FLAIR magnetic resonance.
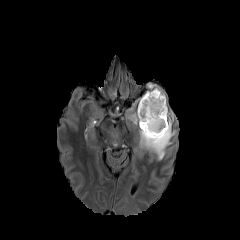
T1-weighted MRI.
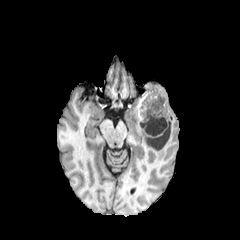
Post-contrast T1-weighted MR image.
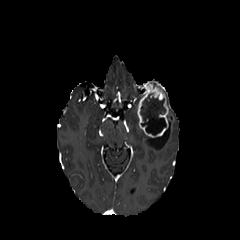
T2-weighted MR image.
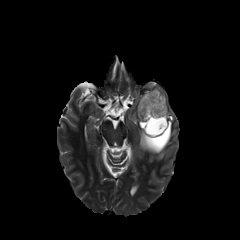
Head; Axial view
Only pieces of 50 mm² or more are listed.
peritumoral edema: left=125, top=99, right=139, bottom=125; left=139, top=110, right=176, bottom=160
enhancing tumor: left=137, top=82, right=168, bottom=137
necrotic tumor core: left=140, top=94, right=166, bottom=135